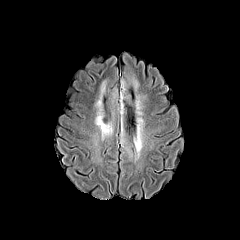
FLAIR MR image.
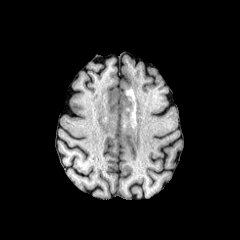
T1-weighted MRI of the same slice.
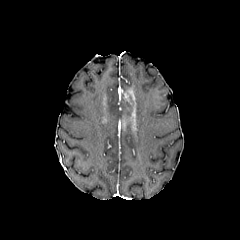
Same slice, post-contrast T1-weighted MR.
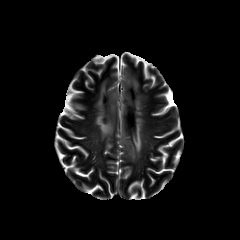
Same slice, T2-weighted MRI.
<segmentation>
  <peritumoral_edema>l=120, t=69, r=144, b=159; l=95, t=77, r=118, b=140</peritumoral_edema>
</segmentation>